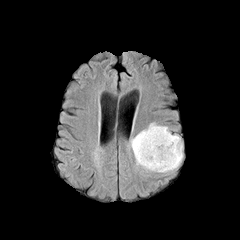
FLAIR magnetic resonance.
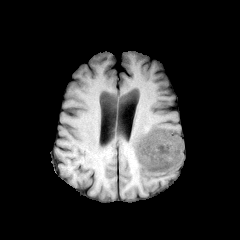
T1-weighted MRI of the same slice.
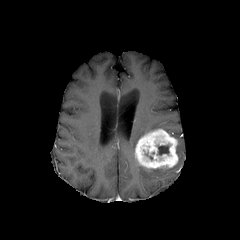
Post-contrast T1-weighted MR image.
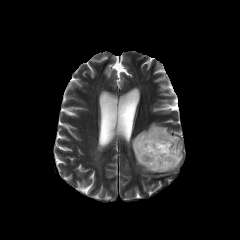
T2-weighted MRI of the same slice.
Head
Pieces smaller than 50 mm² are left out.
enhancing tumor at bbox=[135, 128, 178, 170]
necrotic tumor core at bbox=[158, 145, 169, 155]
peritumoral edema at bbox=[130, 123, 182, 172]